Image covers 240 mm x 240 mm | Axial view
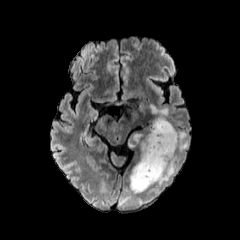
FLAIR MR image.
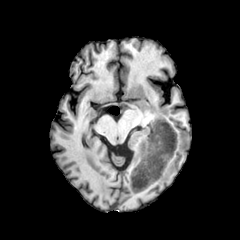
Same slice, T1-weighted MR image.
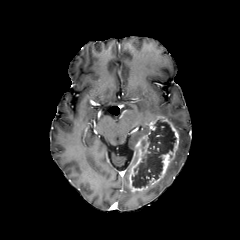
Post-contrast T1-weighted MR of the same slice.
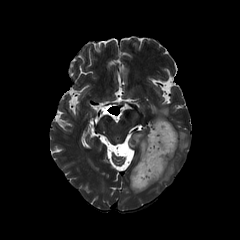
T2-weighted MRI of the same slice.
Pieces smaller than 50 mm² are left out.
{
  "necrotic_tumor_core": [
    "(x1=132, y1=120, x2=176, y2=187)"
  ],
  "enhancing_tumor": [
    "(x1=129, y1=115, x2=179, y2=191)"
  ],
  "peritumoral_edema": [
    "(x1=151, y1=105, x2=168, y2=117)",
    "(x1=133, y1=134, x2=142, y2=142)",
    "(x1=177, y1=130, x2=188, y2=156)",
    "(x1=156, y1=152, x2=178, y2=185)"
  ]
}